240x240 px, Head
FLAIR magnetic resonance.
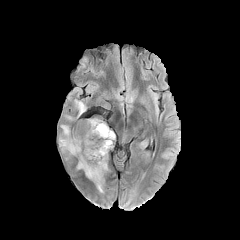
T1-weighted MRI.
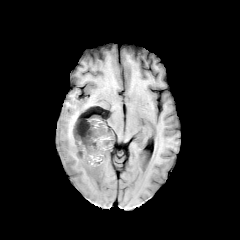
Post-contrast T1-weighted MR image.
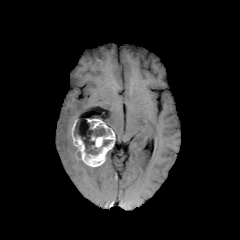
T2-weighted magnetic resonance.
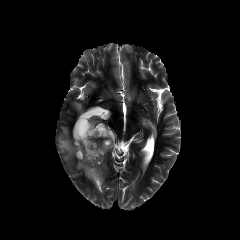
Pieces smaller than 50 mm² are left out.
3 peritumoral edema regions are located at <bbox>64, 100, 85, 120</bbox>, <bbox>59, 125, 77, 155</bbox>, <bbox>76, 152, 109, 192</bbox>. The largest necrotic tumor core region lies within <bbox>74, 118, 110, 154</bbox>. The enhancing tumor is at <bbox>72, 119, 115, 167</bbox>.